Axial view. Head. Slice index 95.
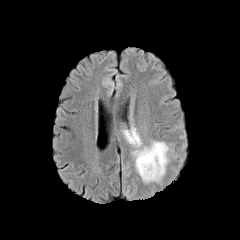
FLAIR MRI.
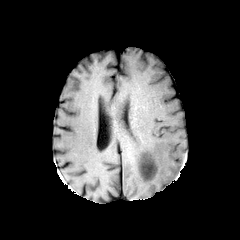
T1-weighted MR image.
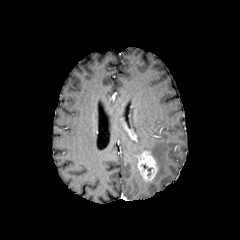
Same slice, post-contrast T1-weighted magnetic resonance.
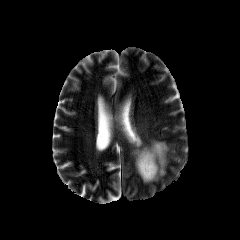
T2-weighted MR.
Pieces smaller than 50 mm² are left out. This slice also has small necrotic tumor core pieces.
peritumoral edema: bounding box 125:128:141:146, 133:141:168:181
enhancing tumor: bounding box 137:151:157:181